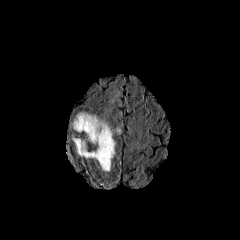
FLAIR MR.
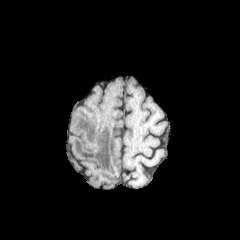
T1-weighted MRI.
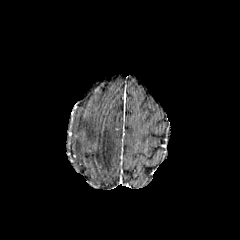
Post-contrast T1-weighted MRI of the same slice.
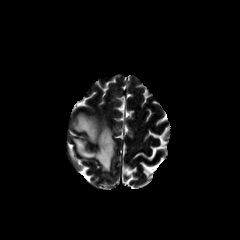
T2-weighted MR image.
Brain
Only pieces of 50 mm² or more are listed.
peritumoral_edema:
  - (x1=71, y1=112, x2=119, y2=172)